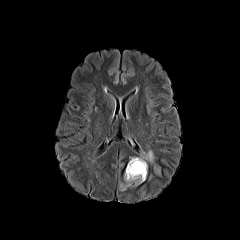
FLAIR MR image.
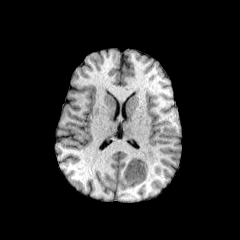
T1-weighted MRI of the same slice.
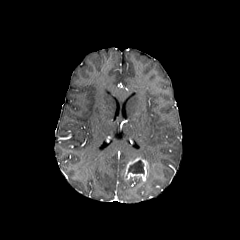
Post-contrast T1-weighted MRI.
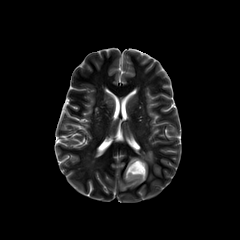
Same slice, T2-weighted magnetic resonance.
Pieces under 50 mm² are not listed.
enhancing tumor: bounding box <box>124,157,148,181</box>
necrotic tumor core: bounding box <box>128,160,144,174</box>
peritumoral edema: bounding box <box>140,150,154,163</box>, <box>119,177,142,190</box>